Image size 240x240
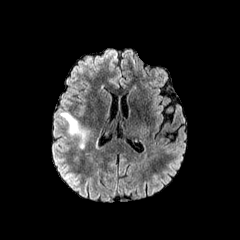
FLAIR MR image.
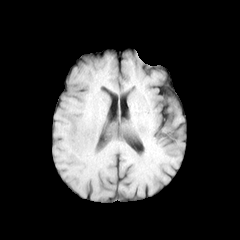
T1-weighted MR.
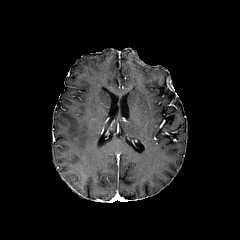
Post-contrast T1-weighted magnetic resonance of the same slice.
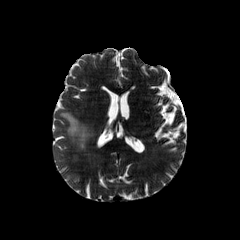
T2-weighted MRI of the same slice.
<segmentation>
  <peritumoral_edema>box(60, 112, 88, 148)</peritumoral_edema>
</segmentation>